FLAIR MR image.
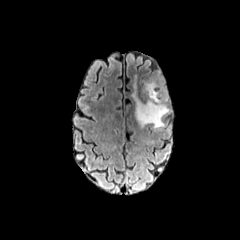
T1-weighted MR.
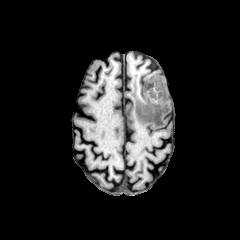
Post-contrast T1-weighted magnetic resonance.
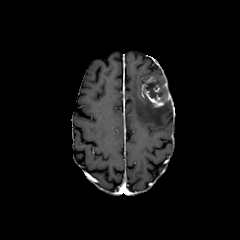
T2-weighted MR image.
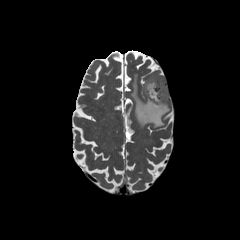
Axial view | Head
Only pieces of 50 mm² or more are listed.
The largest necrotic tumor core region is at left=145, top=81, right=166, bottom=99. The largest peritumoral edema region is located at left=131, top=75, right=170, bottom=128. The largest enhancing tumor region is bounded by left=141, top=75, right=170, bottom=107.